Slice 114 of 155 | Brain | Axial view
FLAIR MR.
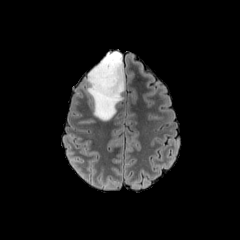
T1-weighted MR.
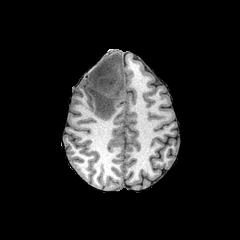
Post-contrast T1-weighted MRI.
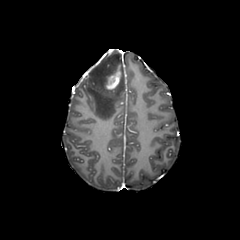
T2-weighted magnetic resonance.
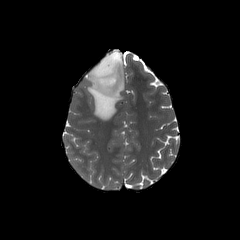
Findings:
• peritumoral edema: 87,51,125,120
• enhancing tumor: 105,65,121,89